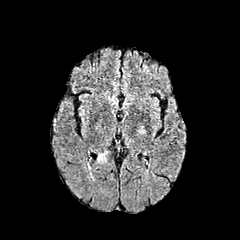
FLAIR MR image.
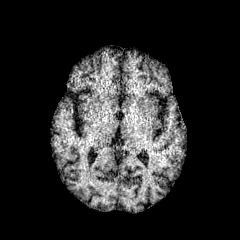
Same slice, T1-weighted MR image.
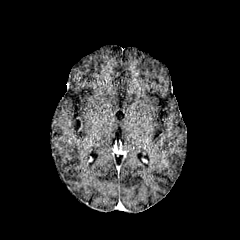
Same slice, post-contrast T1-weighted MR.
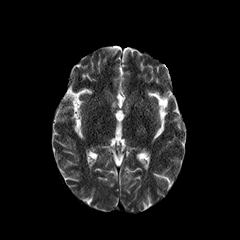
Same slice, T2-weighted magnetic resonance.
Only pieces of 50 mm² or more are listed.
peritumoral edema = [97, 151, 107, 162]